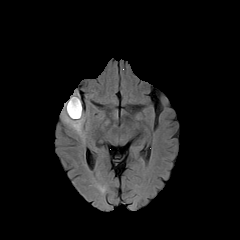
FLAIR magnetic resonance.
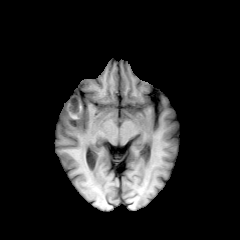
Same slice, T1-weighted MR.
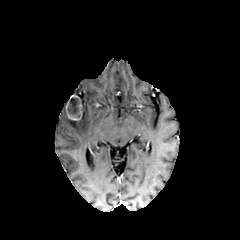
Post-contrast T1-weighted MR of the same slice.
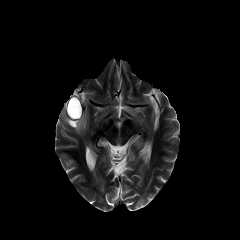
T2-weighted MRI.
Image size 240x240, Axial view
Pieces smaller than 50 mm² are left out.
<segmentation>
  <peritumoral_edema>region(61, 101, 85, 136)</peritumoral_edema>
  <enhancing_tumor>region(65, 94, 80, 120)</enhancing_tumor>
  <necrotic_tumor_core>region(67, 98, 81, 117)</necrotic_tumor_core>
</segmentation>